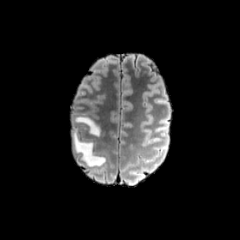
FLAIR MR.
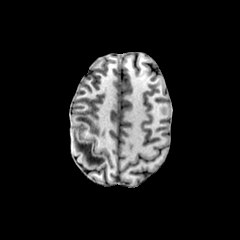
T1-weighted MR.
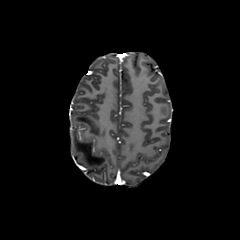
Post-contrast T1-weighted MR.
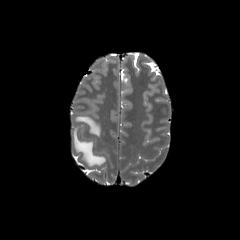
T2-weighted MRI.
Head.
2 peritumoral edema regions are bounded by x1=72 y1=128 x2=105 y2=166, x1=74 y1=116 x2=100 y2=135.